Head; Axial slice; Image size 240x240
FLAIR magnetic resonance.
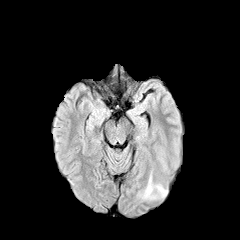
T1-weighted MR image.
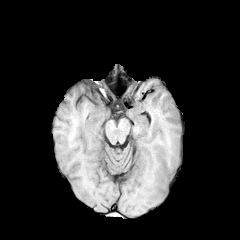
Post-contrast T1-weighted MRI.
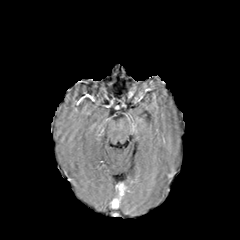
T2-weighted MRI.
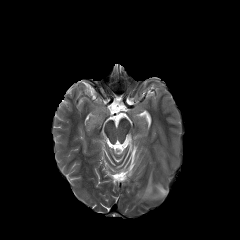
Segmented structures:
- peritumoral edema: x1=156, y1=185, x2=166, y2=196; x1=144, y1=174, x2=157, y2=198